Axial view
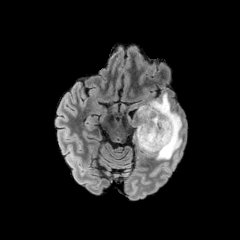
FLAIR MR.
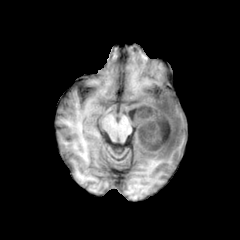
T1-weighted magnetic resonance.
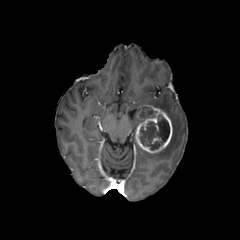
Post-contrast T1-weighted MR image.
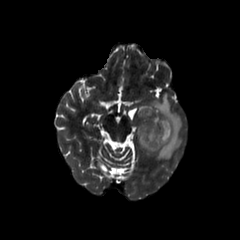
Same slice, T2-weighted MR image.
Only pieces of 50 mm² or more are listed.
{
  "necrotic_tumor_core": [
    "(left=143, top=109, right=154, bottom=117)",
    "(left=140, top=115, right=169, bottom=150)"
  ],
  "peritumoral_edema": [
    "(left=144, top=93, right=182, bottom=159)"
  ],
  "enhancing_tumor": [
    "(left=135, top=105, right=172, bottom=153)"
  ]
}